Brain, Axial view
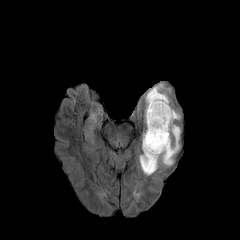
FLAIR MR.
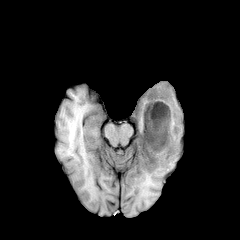
T1-weighted MR image.
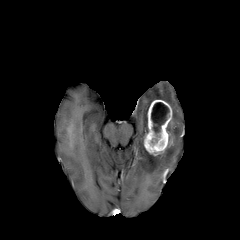
Post-contrast T1-weighted MRI.
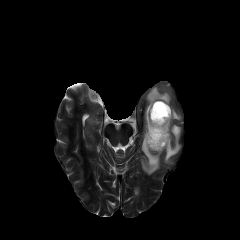
Same slice, T2-weighted magnetic resonance.
enhancing tumor at {"x1": 143, "y1": 100, "x2": 172, "y2": 155}
necrotic tumor core at {"x1": 151, "y1": 102, "x2": 169, "y2": 133}
peritumoral edema at {"x1": 145, "y1": 83, "x2": 170, "y2": 132}, {"x1": 139, "y1": 106, "x2": 180, "y2": 175}